Brain; Slice 40/155; Image width 240 mm, 1.00 mm slice spacing; Axial slice
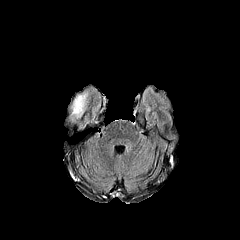
FLAIR MR.
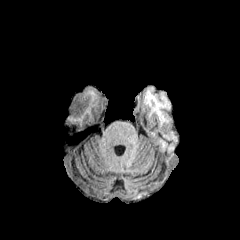
T1-weighted MRI.
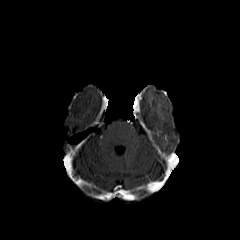
Same slice, post-contrast T1-weighted MRI.
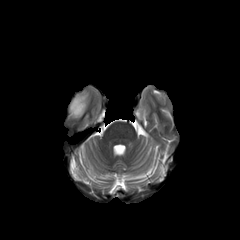
T2-weighted MRI.
peritumoral_edema:
  - 71, 92, 87, 118